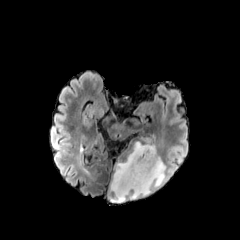
FLAIR MR.
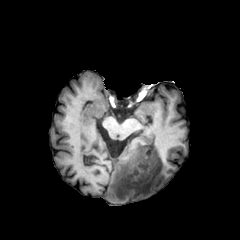
Same slice, T1-weighted MR.
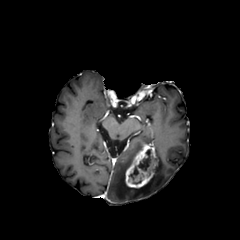
Post-contrast T1-weighted MRI.
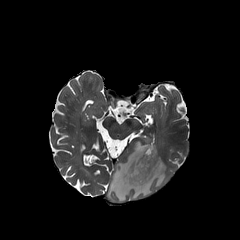
T2-weighted MR image.
necrotic tumor core = [129,149,151,183]
peritumoral edema = [108,137,166,202]
enhancing tumor = [125,142,157,188]